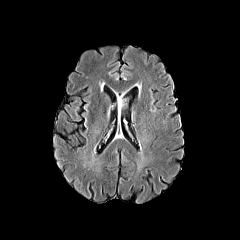
FLAIR magnetic resonance.
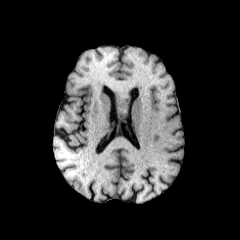
T1-weighted MR.
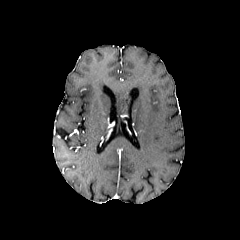
Post-contrast T1-weighted MRI of the same slice.
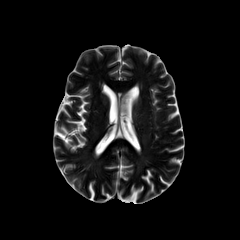
T2-weighted magnetic resonance.
Image size 240x240, Head, Axial view
peritumoral edema: bounding box (x1=118, y1=97, x2=123, y2=116)